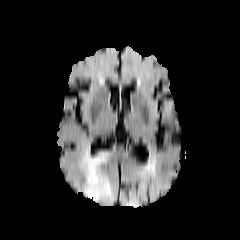
FLAIR MR.
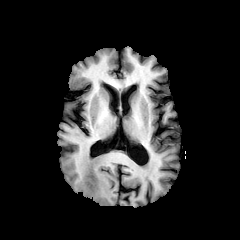
T1-weighted MR.
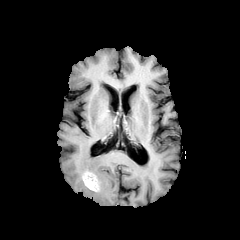
Post-contrast T1-weighted magnetic resonance.
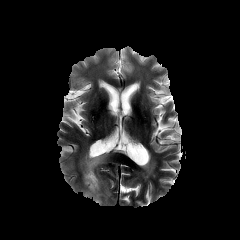
T2-weighted magnetic resonance.
enhancing tumor: l=83, t=171, r=99, b=191
peritumoral edema: l=80, t=150, r=113, b=202